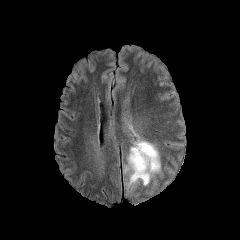
FLAIR MR image.
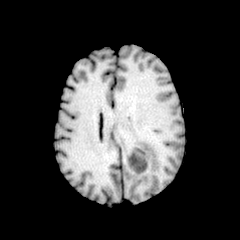
T1-weighted magnetic resonance of the same slice.
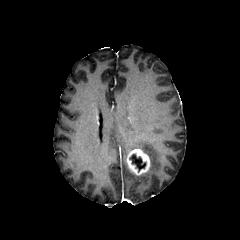
Post-contrast T1-weighted MRI.
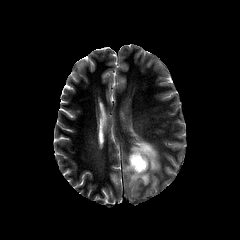
T2-weighted MR.
Axial view. Head.
The necrotic tumor core is bounded by <bbox>130, 154, 145, 171</bbox>. The peritumoral edema is at <bbox>125, 139, 160, 186</bbox>. The enhancing tumor is bounded by <bbox>126, 148, 150, 175</bbox>.